Head; 240x240
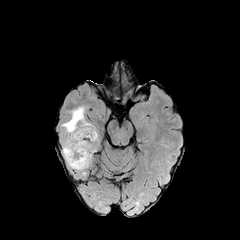
FLAIR MR.
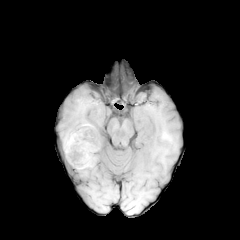
T1-weighted MR.
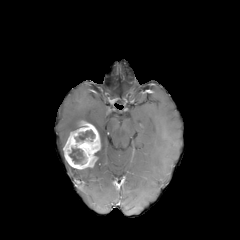
Post-contrast T1-weighted MRI.
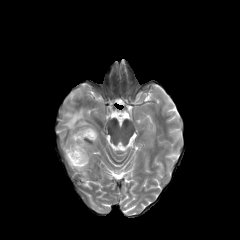
T2-weighted magnetic resonance.
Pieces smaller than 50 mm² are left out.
peritumoral edema: (62,107,86,134) | enhancing tumor: (63,121,100,169) | necrotic tumor core: (69,148,84,163), (75,130,94,141)